FLAIR magnetic resonance.
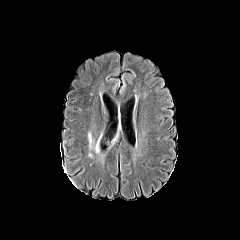
T1-weighted MR.
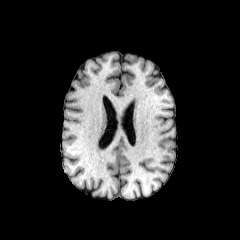
Post-contrast T1-weighted MRI.
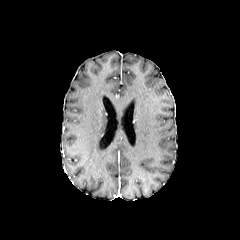
T2-weighted magnetic resonance.
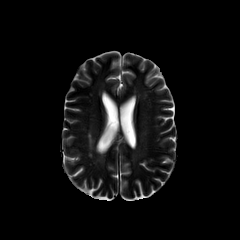
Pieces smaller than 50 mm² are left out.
The 2 largest peritumoral edema regions are bounded by box=[94, 133, 101, 152]; box=[88, 132, 94, 148].